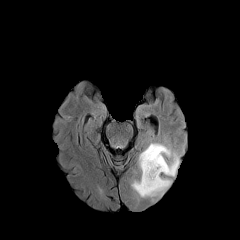
FLAIR MRI.
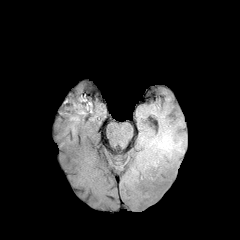
T1-weighted MR image.
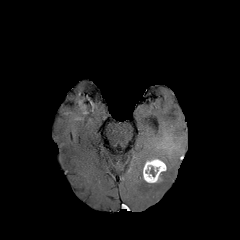
Post-contrast T1-weighted MRI of the same slice.
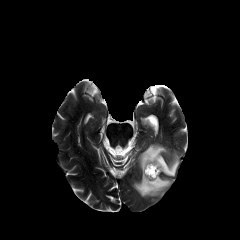
T2-weighted MR.
Axial plane
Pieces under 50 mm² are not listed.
peritumoral edema = (x1=131, y1=143, x2=179, y2=199)
necrotic tumor core = (x1=146, y1=164, x2=159, y2=178)
enhancing tumor = (x1=143, y1=158, x2=166, y2=183)